FLAIR magnetic resonance.
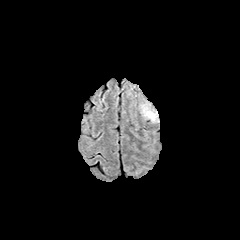
T1-weighted magnetic resonance.
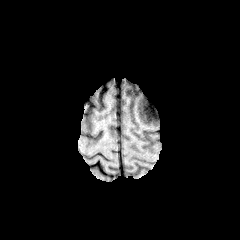
Post-contrast T1-weighted magnetic resonance.
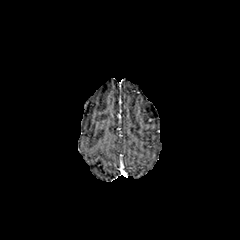
T2-weighted magnetic resonance.
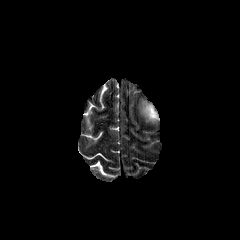
Image size 240x240, Axial plane
The peritumoral edema is located at {"x1": 142, "y1": 104, "x2": 157, "y2": 121}.